Axial view | Image width 240 mm, 1.00 mm slice spacing
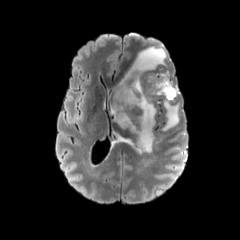
FLAIR MR.
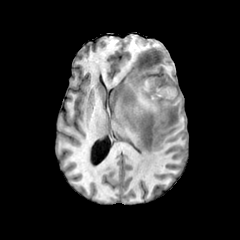
T1-weighted MRI.
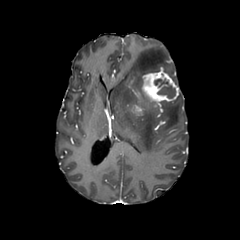
Post-contrast T1-weighted MR.
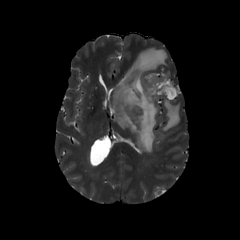
Same slice, T2-weighted MRI.
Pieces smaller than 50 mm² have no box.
2 enhancing tumor regions appear at 142,71,179,102; 133,105,143,115. The necrotic tumor core appears at 154,79,175,98. The 3 largest peritumoral edema regions are located at 162,101,179,130; 118,135,133,145; 111,46,167,153.